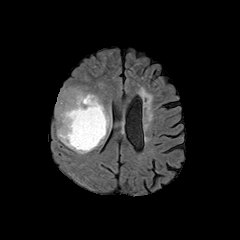
FLAIR magnetic resonance.
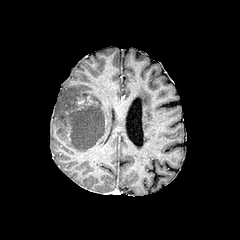
Same slice, T1-weighted magnetic resonance.
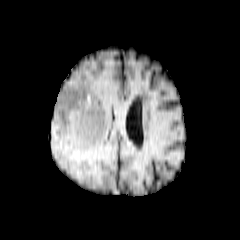
Post-contrast T1-weighted MRI of the same slice.
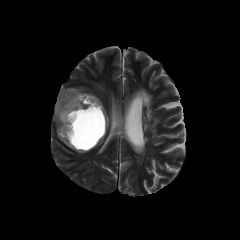
T2-weighted MRI of the same slice.
Image size 240x240; Brain
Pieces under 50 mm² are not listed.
{
  "peritumoral_edema": [
    "bbox(55, 88, 90, 154)",
    "bbox(89, 93, 110, 132)"
  ],
  "enhancing_tumor": [
    "bbox(85, 93, 93, 108)"
  ],
  "necrotic_tumor_core": [
    "bbox(70, 104, 105, 149)"
  ]
}